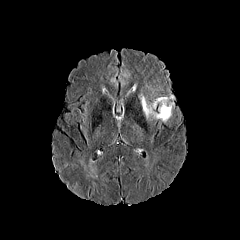
FLAIR MRI.
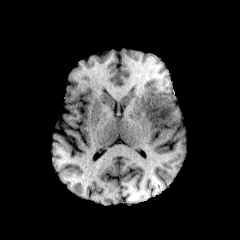
T1-weighted MRI of the same slice.
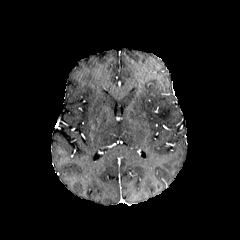
Post-contrast T1-weighted MR.
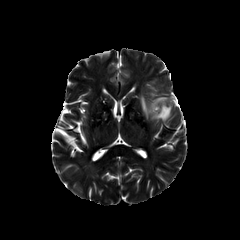
Same slice, T2-weighted magnetic resonance.
240x240 px.
The peritumoral edema is located at [x1=139, y1=94, x2=174, y2=121].